FLAIR MR image.
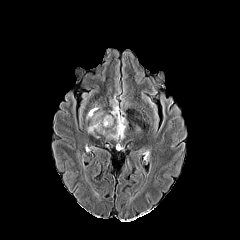
T1-weighted MR image.
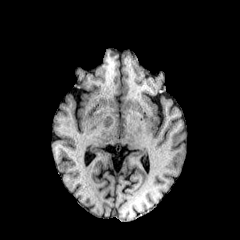
Post-contrast T1-weighted MR image.
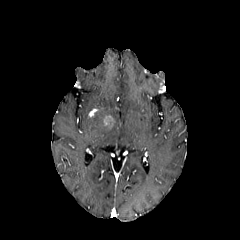
T2-weighted MRI.
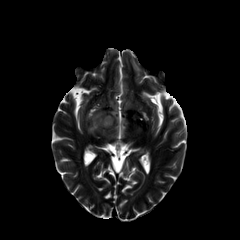
Head | Image size 240x240
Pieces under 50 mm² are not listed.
<segmentation>
  <peritumoral_edema>box=[86, 106, 106, 134]; box=[107, 99, 126, 140]</peritumoral_edema>
  <enhancing_tumor>box=[103, 115, 113, 127]</enhancing_tumor>
</segmentation>